Slice 109/155. Head. Axial plane.
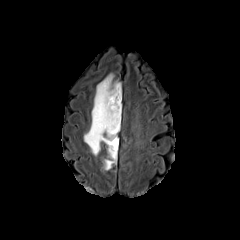
FLAIR magnetic resonance.
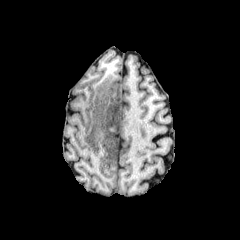
Same slice, T1-weighted MR.
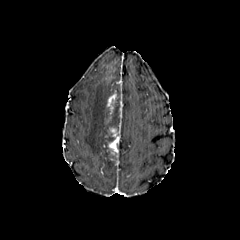
Post-contrast T1-weighted MR image.
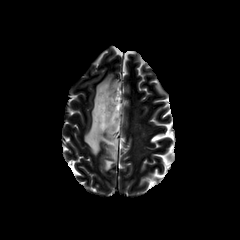
T2-weighted MR image.
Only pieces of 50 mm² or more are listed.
The largest enhancing tumor region is bounded by (105, 84, 121, 156). 2 peritumoral edema regions are located at (104, 151, 116, 170), (84, 74, 118, 155). The largest necrotic tumor core region lies within (107, 97, 119, 132).